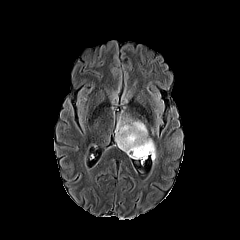
FLAIR MR.
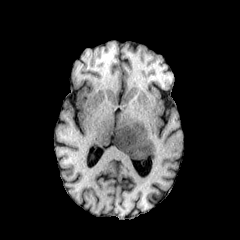
Same slice, T1-weighted magnetic resonance.
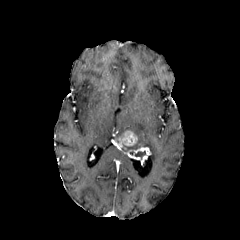
Post-contrast T1-weighted magnetic resonance.
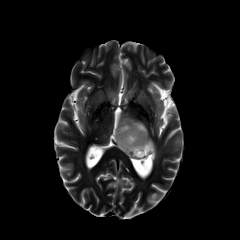
T2-weighted magnetic resonance of the same slice.
Image size 240x240, Axial view, Brain
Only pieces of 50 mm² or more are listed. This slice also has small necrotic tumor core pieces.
2 enhancing tumor regions are located at [124,146,151,161], [115,130,137,150]. The peritumoral edema is at [116,116,156,159].